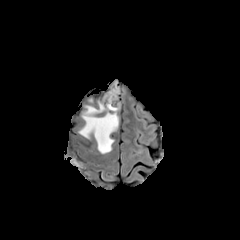
FLAIR MR.
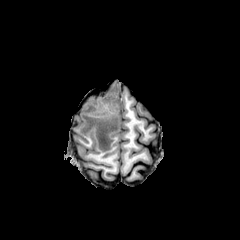
T1-weighted MRI.
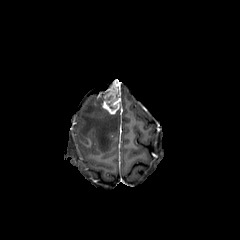
Same slice, post-contrast T1-weighted magnetic resonance.
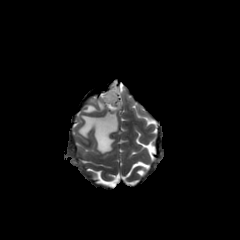
T2-weighted MR image.
240x240; Head
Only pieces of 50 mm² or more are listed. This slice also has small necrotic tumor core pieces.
The largest peritumoral edema region is located at <box>79,101,118,153</box>. The enhancing tumor is bounded by <box>102,80,121,114</box>.